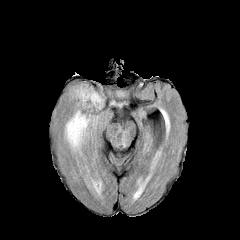
FLAIR MRI.
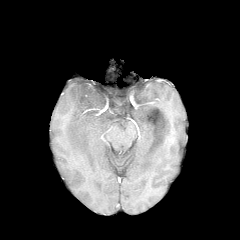
Same slice, T1-weighted MR image.
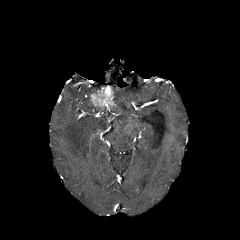
Post-contrast T1-weighted MR of the same slice.
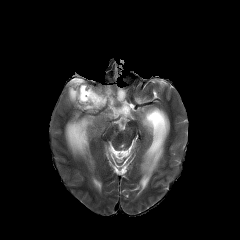
Same slice, T2-weighted MRI.
Brain
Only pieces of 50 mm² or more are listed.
enhancing tumor: box(88, 86, 115, 108)
peritumoral edema: box(65, 111, 97, 155); box(70, 85, 94, 107)